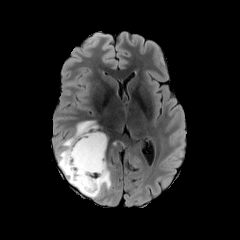
FLAIR MR.
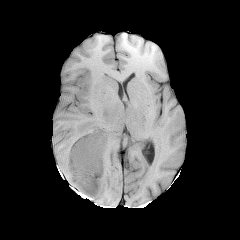
T1-weighted MRI of the same slice.
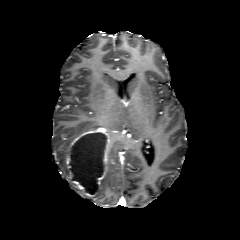
Post-contrast T1-weighted MRI.
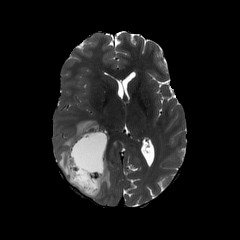
T2-weighted MR image of the same slice.
Axial slice | Brain
Annotated regions:
• enhancing tumor: left=65, top=130, right=100, bottom=197; left=97, top=172, right=105, bottom=191; left=103, top=139, right=110, bottom=163
• peritumoral edema: left=56, top=120, right=98, bottom=183; left=92, top=161, right=111, bottom=198
• necrotic tumor core: left=69, top=133, right=107, bottom=193